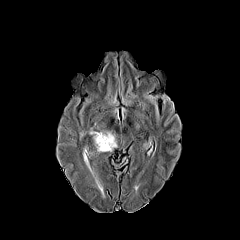
FLAIR magnetic resonance.
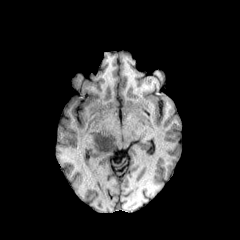
T1-weighted magnetic resonance of the same slice.
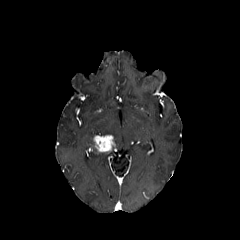
Same slice, post-contrast T1-weighted MR image.
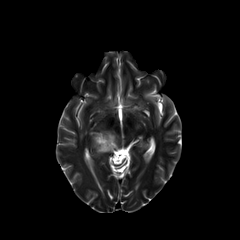
T2-weighted magnetic resonance.
Image size 240x240; Axial view
Annotated regions:
* peritumoral edema: <box>80,123,116,145</box>
* enhancing tumor: <box>93,135,114,152</box>